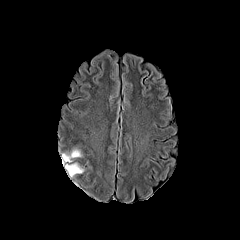
FLAIR MR.
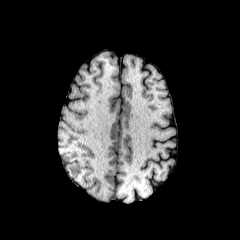
T1-weighted MR image.
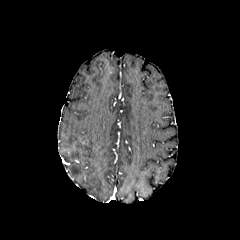
Post-contrast T1-weighted MR image of the same slice.
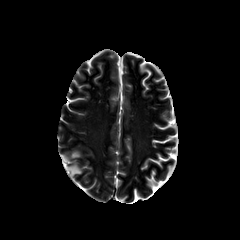
Same slice, T2-weighted MR.
Head
<segmentation>
  <peritumoral_edema>box=[62, 150, 81, 161]; box=[65, 164, 83, 176]</peritumoral_edema>
</segmentation>